Head. Image width 240 mm, 1.00 mm slice spacing. Axial plane.
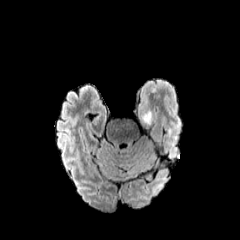
FLAIR MR.
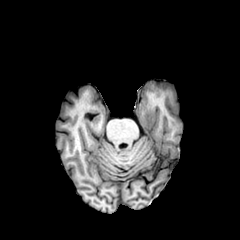
T1-weighted magnetic resonance of the same slice.
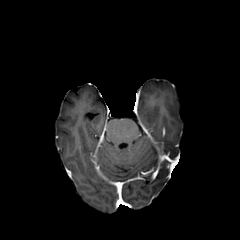
Same slice, post-contrast T1-weighted MR image.
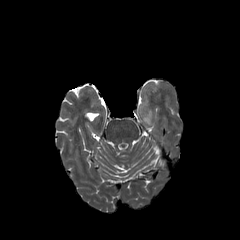
T2-weighted MR image.
The peritumoral edema appears at [141, 112, 152, 125].